Axial view | Brain | 240x240 px
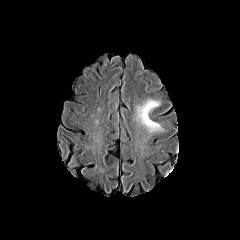
FLAIR MRI.
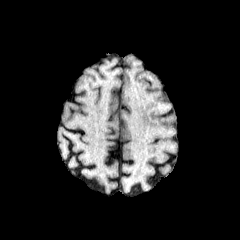
T1-weighted MRI of the same slice.
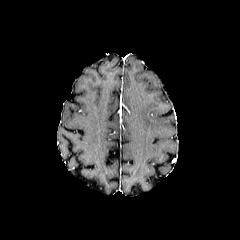
Post-contrast T1-weighted magnetic resonance.
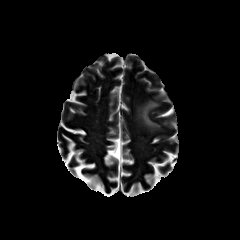
Same slice, T2-weighted MR.
Segmented structures:
* peritumoral edema: [136, 100, 162, 132]